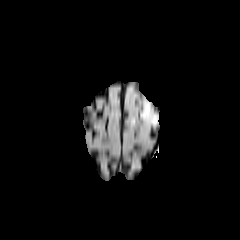
FLAIR magnetic resonance.
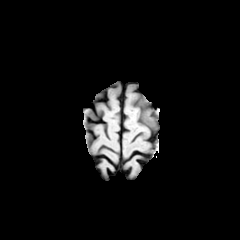
T1-weighted MR image.
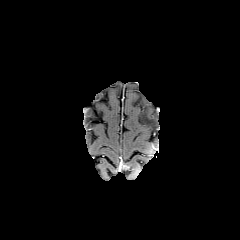
Post-contrast T1-weighted MRI.
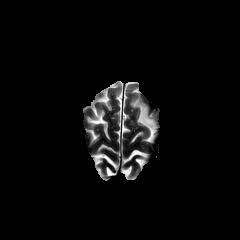
Same slice, T2-weighted MR.
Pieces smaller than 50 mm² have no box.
peritumoral edema: region(141, 104, 157, 127)